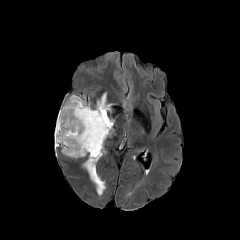
FLAIR MR.
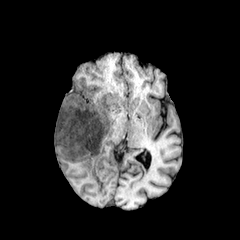
T1-weighted MRI.
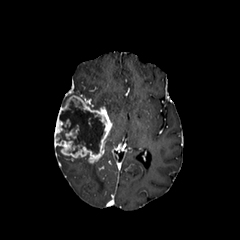
Post-contrast T1-weighted MRI of the same slice.
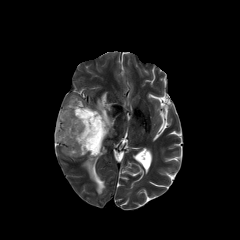
T2-weighted magnetic resonance.
Image size 240x240
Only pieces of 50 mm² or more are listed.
{
  "necrotic_tumor_core": [
    "[57,132,67,141]",
    "[60,101,104,153]"
  ],
  "peritumoral_edema": [
    "[82,159,105,195]",
    "[95,92,112,112]"
  ],
  "enhancing_tumor": [
    "[54,95,112,163]"
  ]
}